FLAIR MR.
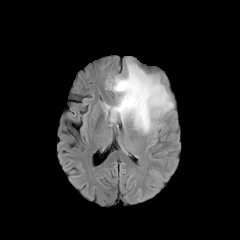
T1-weighted MR.
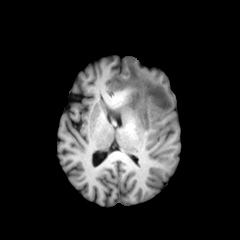
Post-contrast T1-weighted MR.
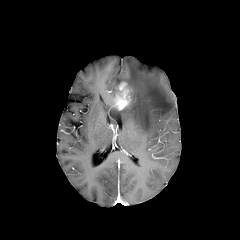
T2-weighted MR image.
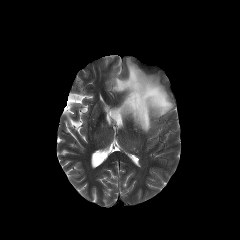
Image size 240x240; Head; Axial plane
2 enhancing tumor regions are located at <box>117,94,130,110</box>, <box>118,82,128,92</box>. The peritumoral edema is bounded by <box>105,59,173,133</box>.